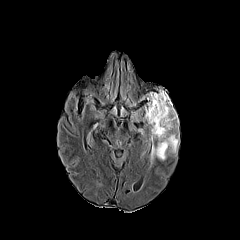
FLAIR MR image.
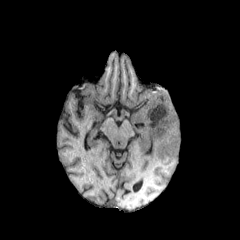
T1-weighted MRI.
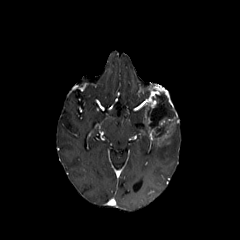
Post-contrast T1-weighted MRI of the same slice.
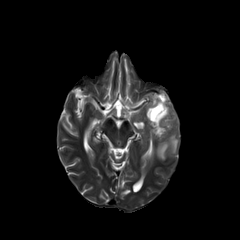
Same slice, T2-weighted magnetic resonance.
Brain
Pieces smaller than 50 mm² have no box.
peritumoral_edema:
  - box(155, 123, 179, 160)
enhancing_tumor:
  - box(144, 86, 178, 146)
necrotic_tumor_core:
  - box(147, 93, 175, 137)